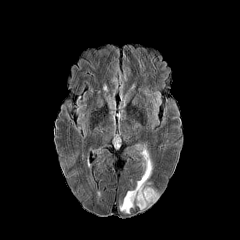
FLAIR MRI.
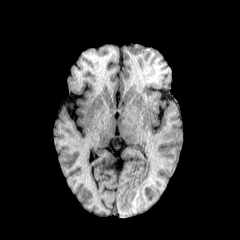
T1-weighted MRI of the same slice.
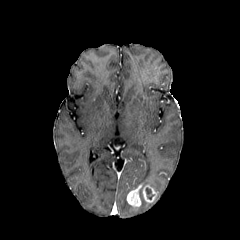
Post-contrast T1-weighted magnetic resonance of the same slice.
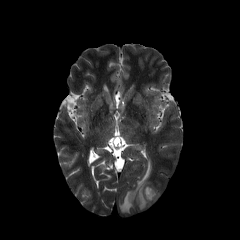
T2-weighted MRI.
Head
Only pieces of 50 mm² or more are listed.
{
  "necrotic_tumor_core": [
    "left=139, top=187, right=144, bottom=201",
    "left=145, top=187, right=154, bottom=199"
  ],
  "peritumoral_edema": [
    "left=137, top=145, right=152, bottom=186",
    "left=120, top=195, right=133, bottom=213"
  ],
  "enhancing_tumor": [
    "left=143, top=185, right=157, bottom=202",
    "left=126, top=184, right=142, bottom=206"
  ]
}